FLAIR MR image.
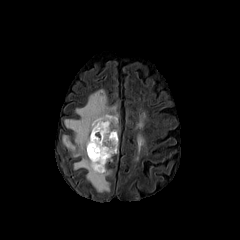
T1-weighted MR image.
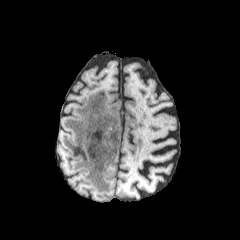
Post-contrast T1-weighted MR.
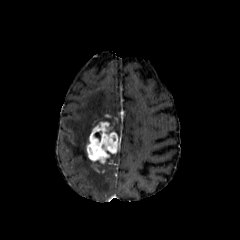
T2-weighted MRI.
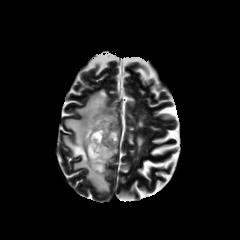
Brain | 240x240
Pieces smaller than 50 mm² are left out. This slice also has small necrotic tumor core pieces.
The largest peritumoral edema region is at bbox=[63, 89, 118, 192]. The largest enhancing tumor region is bounded by bbox=[86, 117, 119, 173].